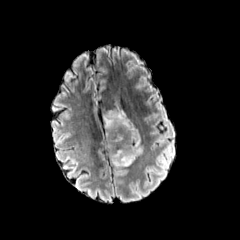
FLAIR magnetic resonance.
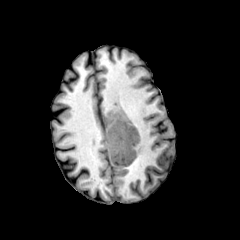
T1-weighted magnetic resonance.
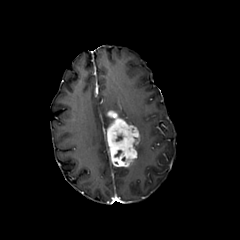
Same slice, post-contrast T1-weighted MR.
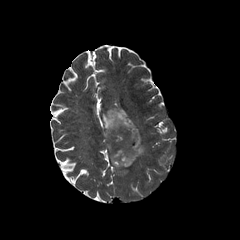
T2-weighted magnetic resonance.
Axial plane. Brain.
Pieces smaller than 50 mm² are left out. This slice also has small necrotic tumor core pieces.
The enhancing tumor is bounded by box(106, 111, 139, 167). The 3 largest peritumoral edema regions appear at box(103, 113, 109, 135); box(136, 135, 142, 155); box(109, 109, 133, 124).